Head. Image size 240x240.
FLAIR MRI.
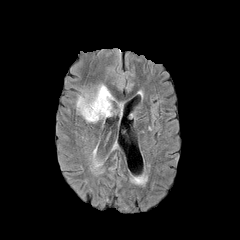
T1-weighted magnetic resonance.
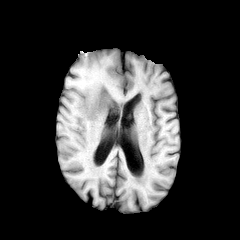
Post-contrast T1-weighted MR.
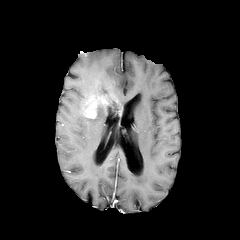
T2-weighted magnetic resonance.
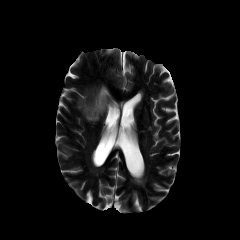
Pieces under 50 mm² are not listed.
<segmentation>
  <peritumoral_edema>89, 85, 113, 100; 77, 96, 84, 114; 83, 104, 114, 122</peritumoral_edema>
  <enhancing_tumor>82, 93, 111, 118</enhancing_tumor>
</segmentation>